FLAIR MR image.
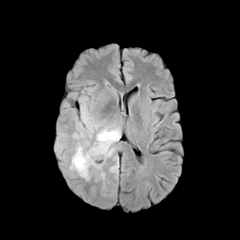
T1-weighted magnetic resonance.
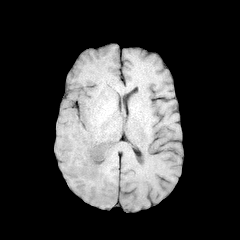
Post-contrast T1-weighted MRI.
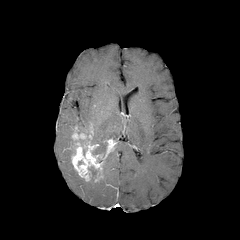
T2-weighted MR image.
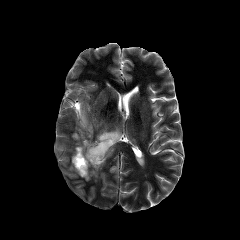
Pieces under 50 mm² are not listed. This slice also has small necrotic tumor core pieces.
peritumoral_edema:
  - box(56, 143, 65, 152)
  - box(75, 103, 121, 155)
  - box(110, 161, 118, 172)
enhancing_tumor:
  - box(71, 127, 117, 180)